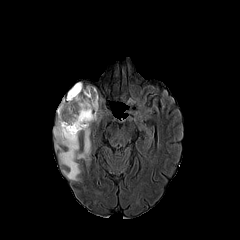
FLAIR magnetic resonance.
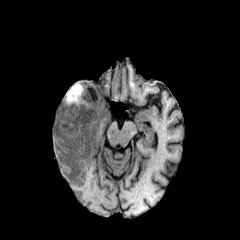
T1-weighted MR image of the same slice.
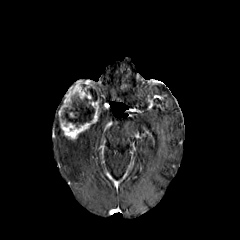
Post-contrast T1-weighted magnetic resonance of the same slice.
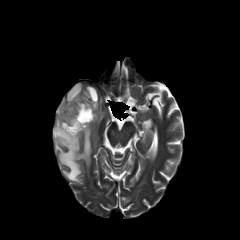
T2-weighted MR.
Axial slice
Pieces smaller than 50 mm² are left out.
The largest peritumoral edema region is located at {"x1": 54, "y1": 117, "x2": 90, "y2": 181}. The largest enhancing tumor region is at {"x1": 58, "y1": 82, "x2": 100, "y2": 140}. 2 necrotic tumor core regions are located at {"x1": 87, "y1": 87, "x2": 97, "y2": 101}, {"x1": 62, "y1": 84, "x2": 94, "y2": 127}.